FLAIR MR.
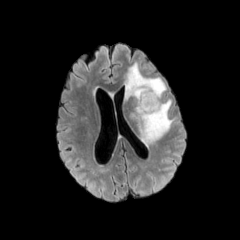
T1-weighted magnetic resonance.
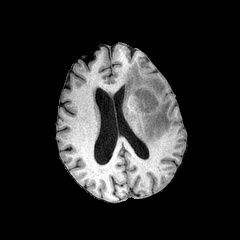
Post-contrast T1-weighted MR image.
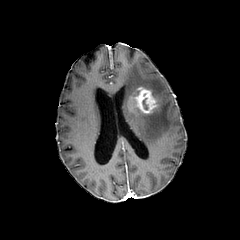
T2-weighted MR.
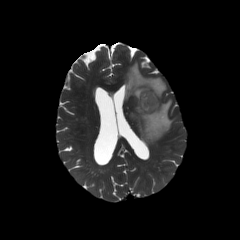
Head
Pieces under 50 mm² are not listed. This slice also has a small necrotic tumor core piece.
peritumoral edema: box=[125, 63, 174, 145]
enhancing tumor: box=[134, 87, 158, 113]